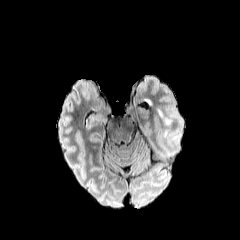
FLAIR magnetic resonance.
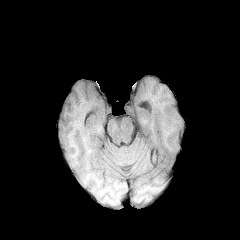
T1-weighted MR image of the same slice.
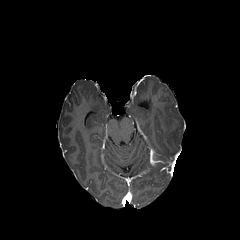
Post-contrast T1-weighted MR image.
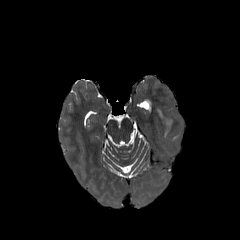
T2-weighted magnetic resonance.
Axial slice.
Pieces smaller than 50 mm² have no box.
peritumoral_edema:
  - bbox=[157, 109, 171, 138]